Axial slice.
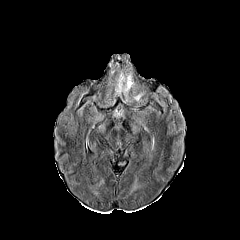
FLAIR MR.
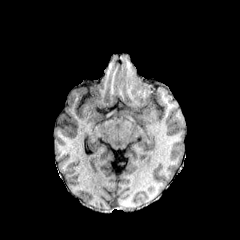
T1-weighted MRI.
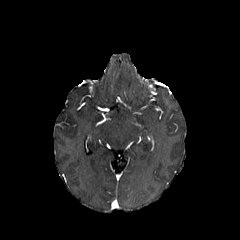
Post-contrast T1-weighted MR image.
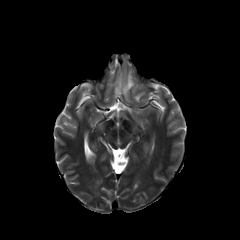
T2-weighted MR image.
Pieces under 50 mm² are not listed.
peritumoral edema = (116, 72, 133, 93)